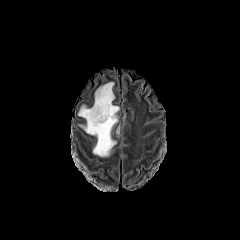
FLAIR magnetic resonance.
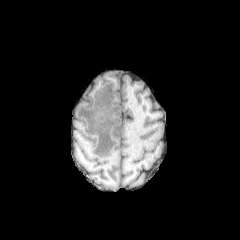
Same slice, T1-weighted magnetic resonance.
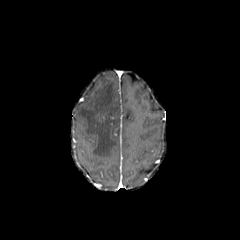
Post-contrast T1-weighted magnetic resonance of the same slice.
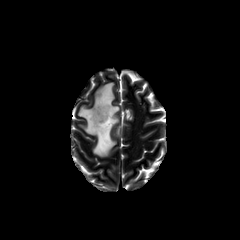
Same slice, T2-weighted MR image.
Head; Axial plane
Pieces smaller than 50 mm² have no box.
{"peritumoral_edema": ["[78, 82, 119, 157]"]}